240x240 px. Head. Axial view.
FLAIR MRI.
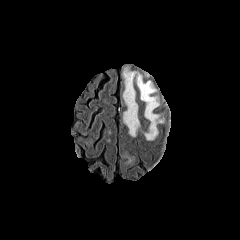
T1-weighted MRI.
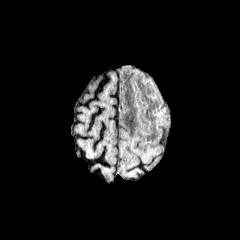
Post-contrast T1-weighted magnetic resonance.
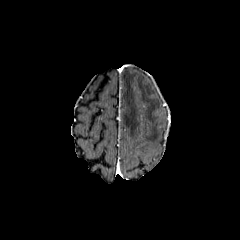
T2-weighted magnetic resonance.
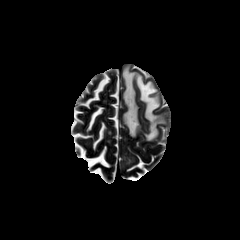
peritumoral_edema:
  - {"x1": 123, "y1": 68, "x2": 164, "y2": 140}